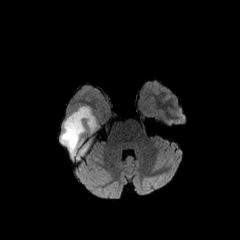
FLAIR MR.
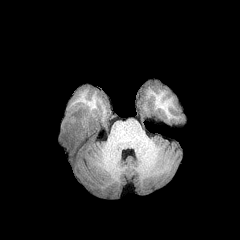
T1-weighted MRI.
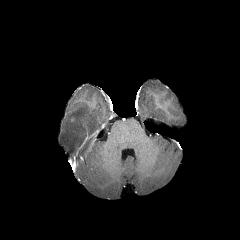
Post-contrast T1-weighted MRI.
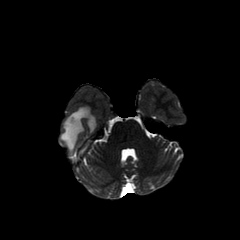
Same slice, T2-weighted MR.
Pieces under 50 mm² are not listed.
<segmentation>
  <peritumoral_edema>60:106:95:152</peritumoral_edema>
</segmentation>